FLAIR MR image.
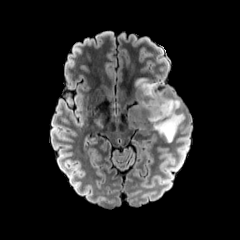
T1-weighted magnetic resonance.
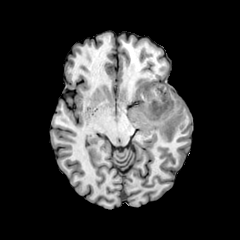
Post-contrast T1-weighted magnetic resonance.
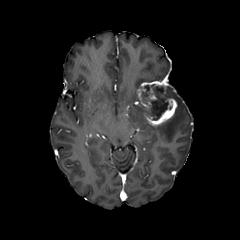
T2-weighted MRI.
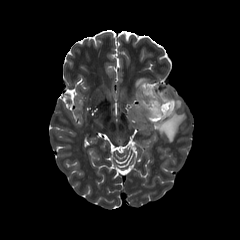
Axial plane. Image size 240x240.
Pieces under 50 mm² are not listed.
2 enhancing tumor regions appear at [149,87,156,99], [137,81,177,125]. The largest necrotic tumor core region is bounded by [141,84,168,120]. The 3 largest peritumoral edema regions appear at [153,85,184,141], [136,78,152,89], [134,98,143,112].